FLAIR MR.
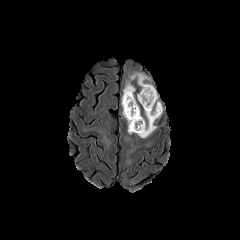
T1-weighted MR.
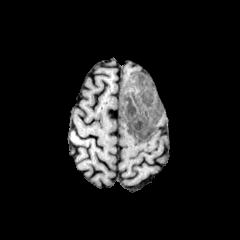
Post-contrast T1-weighted magnetic resonance.
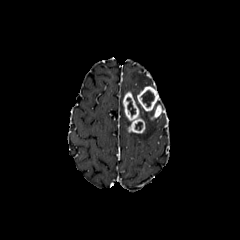
T2-weighted MR image.
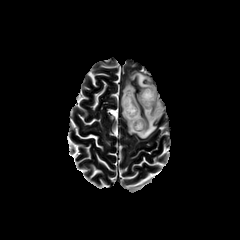
Axial view.
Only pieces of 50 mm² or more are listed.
necrotic tumor core — [142, 90, 154, 106], [127, 98, 135, 115]
enhancing tumor — [137, 86, 159, 111], [123, 91, 145, 133], [150, 104, 163, 119]
peritumoral edema — [121, 72, 161, 138]